Slice 106 of 155 | Image width 240 mm | Axial view | Image size 240x240
FLAIR MR.
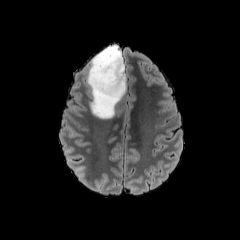
T1-weighted magnetic resonance.
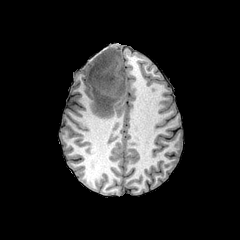
Post-contrast T1-weighted magnetic resonance.
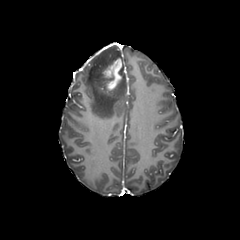
T2-weighted magnetic resonance.
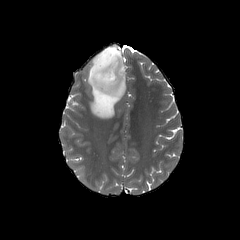
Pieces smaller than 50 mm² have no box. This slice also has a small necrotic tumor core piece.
peritumoral edema: box=[87, 45, 126, 119] | enhancing tumor: box=[103, 58, 122, 90]